Head | Axial view | Slice index 58 | 240x240 px
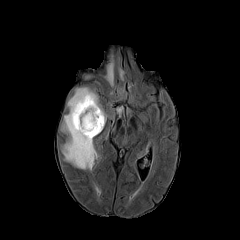
FLAIR magnetic resonance.
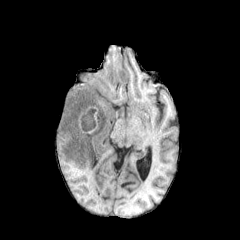
T1-weighted magnetic resonance of the same slice.
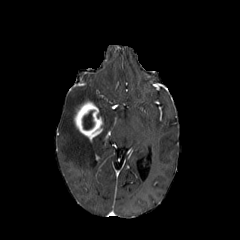
Post-contrast T1-weighted MR of the same slice.
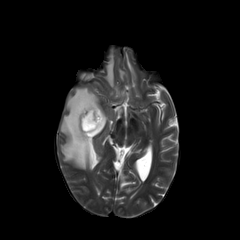
T2-weighted MRI.
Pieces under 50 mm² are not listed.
<segmentation>
  <enhancing_tumor><bbox>74, 100, 103, 140</bbox></enhancing_tumor>
  <peritumoral_edema><bbox>61, 87, 107, 170</bbox>, <bbox>118, 68, 124, 80</bbox>, <bbox>105, 55, 114, 86</bbox></peritumoral_edema>
  <necrotic_tumor_core><bbox>83, 109, 95, 129</bbox></necrotic_tumor_core>
</segmentation>